Slice 75/155.
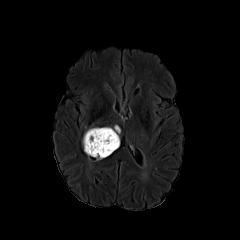
FLAIR MR.
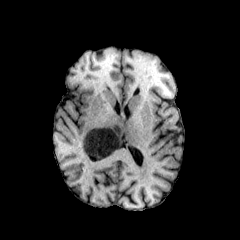
T1-weighted magnetic resonance.
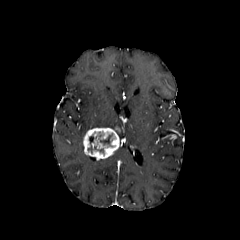
Post-contrast T1-weighted MR.
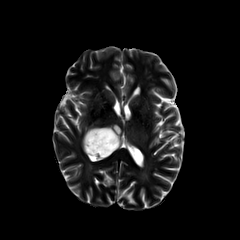
T2-weighted MR.
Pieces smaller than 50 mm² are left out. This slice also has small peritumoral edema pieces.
<segmentation>
  <necrotic_tumor_core>(100, 134, 112, 146)</necrotic_tumor_core>
  <enhancing_tumor>(83, 127, 120, 160)</enhancing_tumor>
</segmentation>